FLAIR MRI.
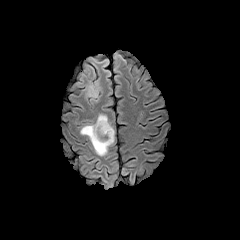
T1-weighted magnetic resonance.
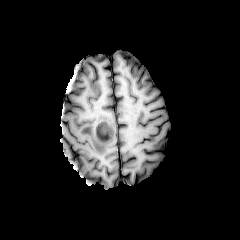
Post-contrast T1-weighted MR image.
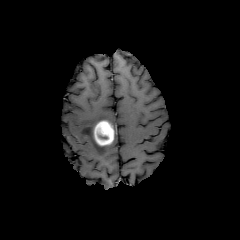
T2-weighted MR.
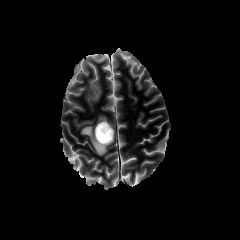
Axial slice.
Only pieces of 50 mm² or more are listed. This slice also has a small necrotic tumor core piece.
peritumoral edema — bbox(80, 114, 115, 156); bbox(71, 63, 98, 97)
enhancing tumor — bbox(93, 120, 114, 145)